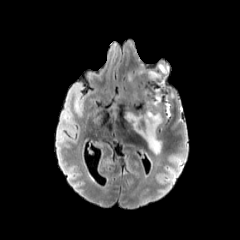
FLAIR MR image.
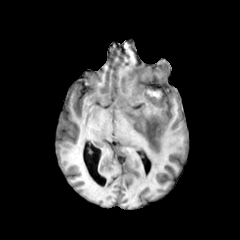
T1-weighted MR image of the same slice.
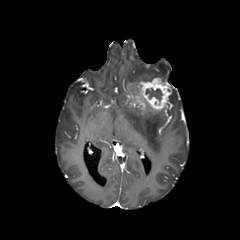
Post-contrast T1-weighted MRI.
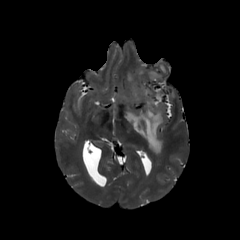
Same slice, T2-weighted MR image.
Head
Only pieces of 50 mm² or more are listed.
{
  "enhancing_tumor": [
    "x1=129 y1=77 x2=171 y2=110"
  ],
  "necrotic_tumor_core": [
    "x1=145 y1=88 x2=162 y2=101"
  ],
  "peritumoral_edema": [
    "x1=147 y1=63 x2=169 y2=81",
    "x1=126 y1=100 x2=170 y2=154",
    "x1=129 y1=82 x2=138 y2=95"
  ]
}